FLAIR MR image.
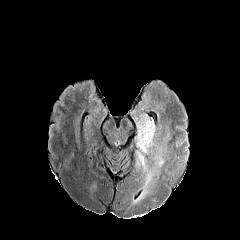
T1-weighted MR.
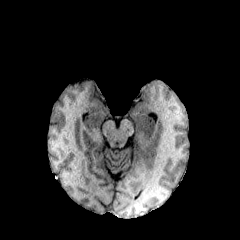
Post-contrast T1-weighted magnetic resonance.
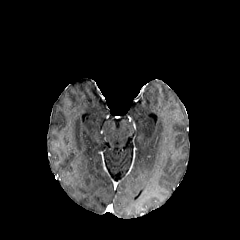
T2-weighted magnetic resonance.
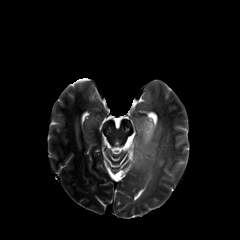
Brain, Axial plane
<segmentation>
  <peritumoral_edema>bbox(139, 170, 153, 197); bbox(155, 156, 164, 167); bbox(136, 119, 154, 170)</peritumoral_edema>
</segmentation>